Axial view. Slice index 109.
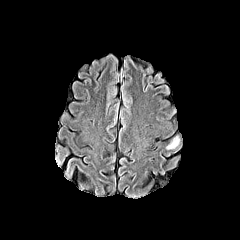
FLAIR magnetic resonance.
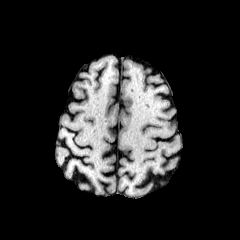
T1-weighted magnetic resonance of the same slice.
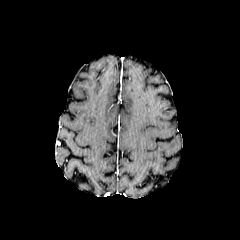
Post-contrast T1-weighted MR image.
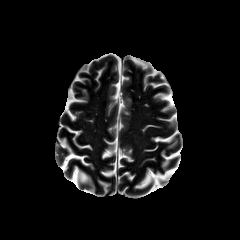
T2-weighted magnetic resonance of the same slice.
peritumoral edema at bbox(167, 138, 178, 148)